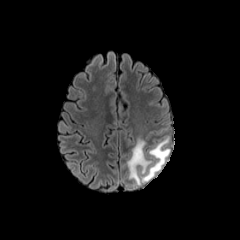
FLAIR magnetic resonance.
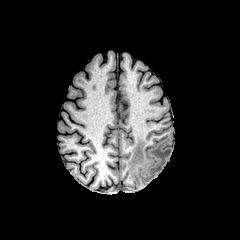
T1-weighted magnetic resonance.
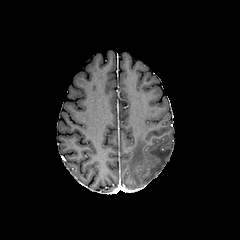
Post-contrast T1-weighted MR image.
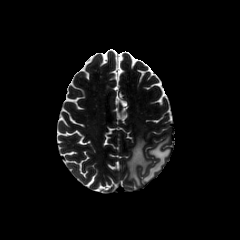
T2-weighted MRI.
Brain
peritumoral edema — bbox=[127, 136, 170, 185]